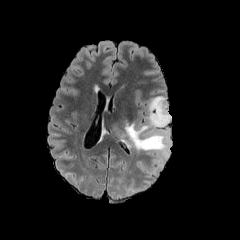
FLAIR MR image.
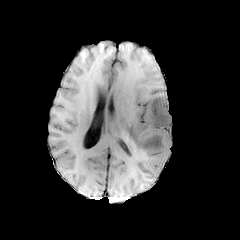
T1-weighted MR of the same slice.
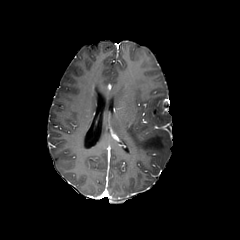
Post-contrast T1-weighted MR of the same slice.
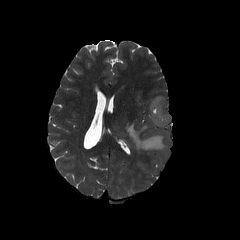
T2-weighted MR image.
Image size 240x240
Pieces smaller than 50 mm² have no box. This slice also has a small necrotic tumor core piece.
Annotated regions:
• peritumoral edema: (left=122, top=96, right=171, bottom=172)
• enhancing tumor: (left=162, top=99, right=168, bottom=111)